Image size 240x240. Head. Slice index 70.
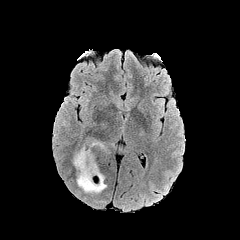
FLAIR magnetic resonance.
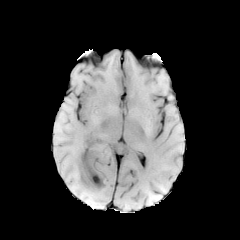
T1-weighted MRI.
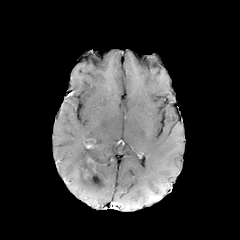
Post-contrast T1-weighted MR of the same slice.
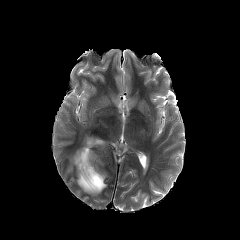
Same slice, T2-weighted MR image.
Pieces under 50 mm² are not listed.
peritumoral edema — rect(93, 139, 105, 150); rect(71, 143, 106, 194)
enhancing tumor — rect(80, 156, 95, 171); rect(85, 139, 95, 148)
necrotic tumor core — rect(80, 157, 94, 175)